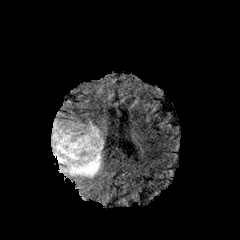
FLAIR MRI.
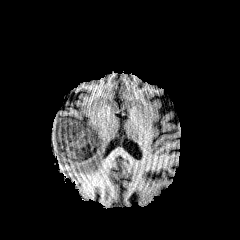
T1-weighted MR.
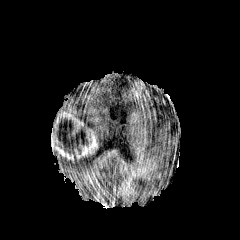
Post-contrast T1-weighted MRI.
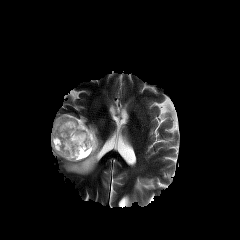
T2-weighted MR image of the same slice.
Head
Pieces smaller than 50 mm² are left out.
<segmentation>
  <peritumoral_edema><box>52,121,104,178</box></peritumoral_edema>
  <necrotic_tumor_core><box>56,118,88,160</box></necrotic_tumor_core>
  <enhancing_tumor><box>75,126,98,160</box>, <box>51,112,84,161</box></enhancing_tumor>
</segmentation>